Axial view | Head
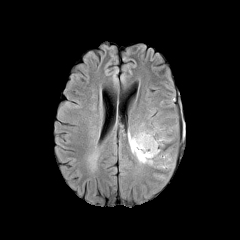
FLAIR MR image.
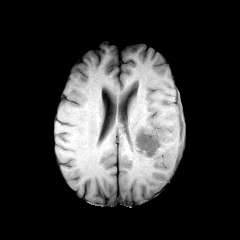
T1-weighted MR.
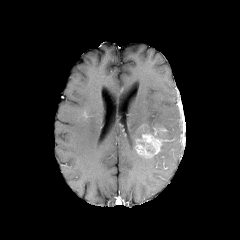
Post-contrast T1-weighted MRI of the same slice.
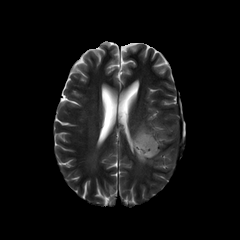
Same slice, T2-weighted MRI.
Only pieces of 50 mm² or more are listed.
peritumoral edema: [128, 124, 155, 166], [154, 164, 169, 169], [159, 133, 170, 141]
enhancing tumor: [136, 134, 161, 157]